FLAIR magnetic resonance.
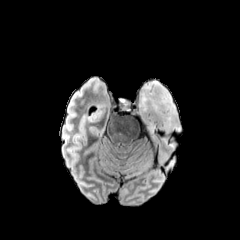
T1-weighted MR.
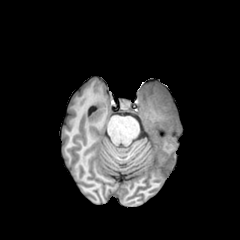
Post-contrast T1-weighted magnetic resonance.
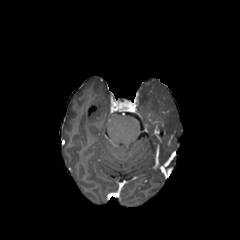
T2-weighted magnetic resonance.
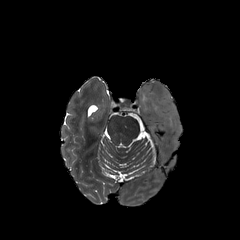
Head | 240x240
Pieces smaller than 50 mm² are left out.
peritumoral_edema:
  - [136,81,180,137]